Brain; Axial slice
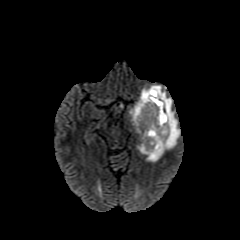
FLAIR MRI.
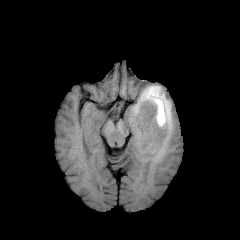
T1-weighted MRI.
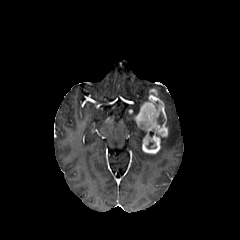
Post-contrast T1-weighted MR image.
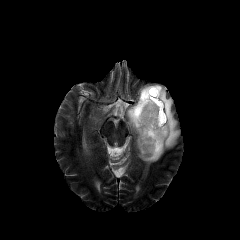
T2-weighted magnetic resonance of the same slice.
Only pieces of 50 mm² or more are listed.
- enhancing tumor: {"x1": 134, "y1": 88, "x2": 168, "y2": 154}
- necrotic tumor core: {"x1": 157, "y1": 112, "x2": 164, "y2": 125}
- peritumoral edema: {"x1": 128, "y1": 85, "x2": 180, "y2": 162}